FLAIR MR.
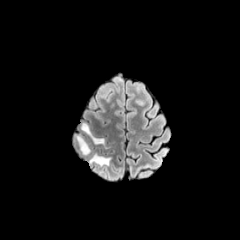
T1-weighted magnetic resonance.
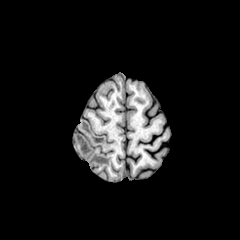
Post-contrast T1-weighted MRI.
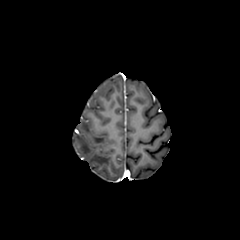
T2-weighted MR image.
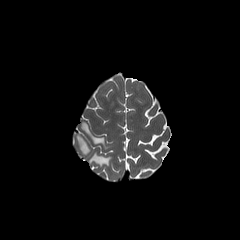
Axial plane. Head.
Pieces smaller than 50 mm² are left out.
peritumoral edema: box(89, 153, 111, 166); box(80, 122, 104, 144); box(73, 134, 90, 155)